Brain, Slice index 61
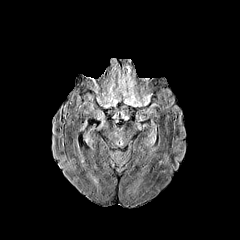
FLAIR MR.
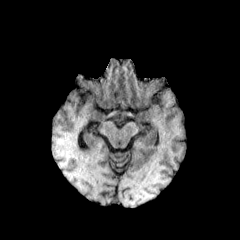
T1-weighted magnetic resonance of the same slice.
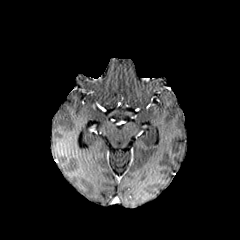
Same slice, post-contrast T1-weighted MR.
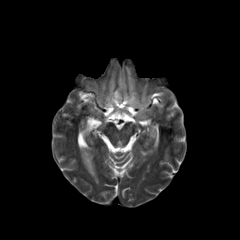
T2-weighted MRI of the same slice.
peritumoral edema — 96,64,152,108